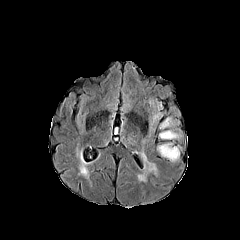
FLAIR MRI.
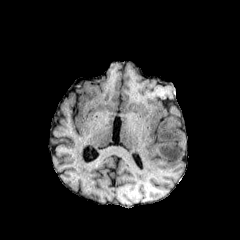
Same slice, T1-weighted MRI.
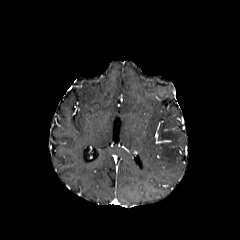
Post-contrast T1-weighted MR image.
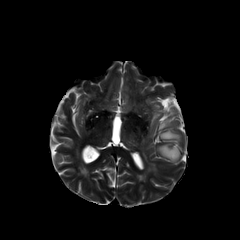
Same slice, T2-weighted magnetic resonance.
240x240
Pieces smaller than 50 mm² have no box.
peritumoral edema at <box>141,152,156,173</box>, <box>158,144,180,161</box>, <box>149,113,159,131</box>, <box>160,118,172,128</box>, <box>160,131,180,138</box>